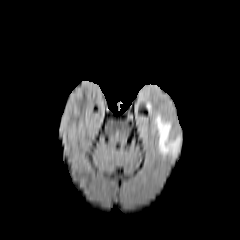
FLAIR MRI.
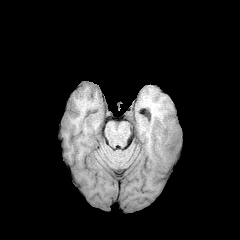
T1-weighted magnetic resonance.
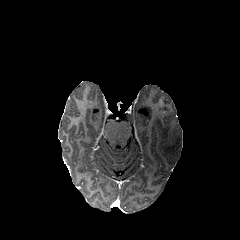
Same slice, post-contrast T1-weighted MR.
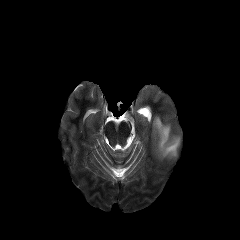
T2-weighted MR image.
Brain.
peritumoral_edema:
  - 153, 115, 180, 157